240x240 px. Slice 42/155. Brain.
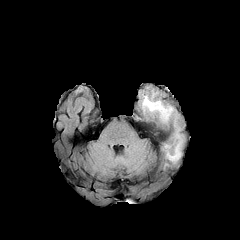
FLAIR MR.
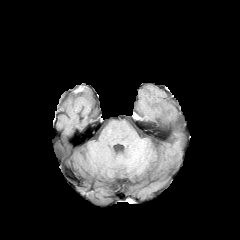
Same slice, T1-weighted magnetic resonance.
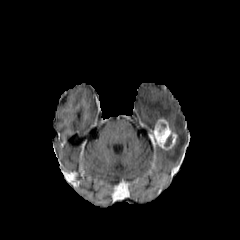
Post-contrast T1-weighted MR.
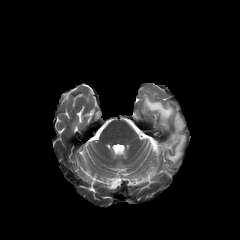
T2-weighted MRI of the same slice.
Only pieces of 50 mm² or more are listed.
Segmented structures:
• enhancing tumor: (154, 118, 177, 149)
• necrotic tumor core: (164, 135, 171, 146)
• peritumoral edema: (140, 89, 184, 163)